Head, Slice 78/155
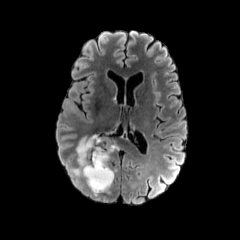
FLAIR MRI.
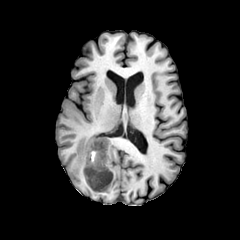
Same slice, T1-weighted MR.
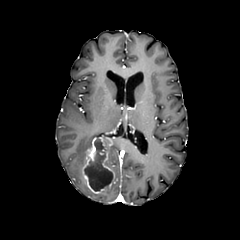
Post-contrast T1-weighted MR image of the same slice.
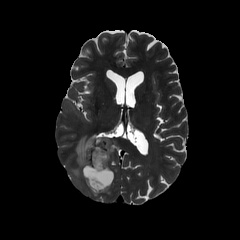
T2-weighted MR of the same slice.
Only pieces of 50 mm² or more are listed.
The necrotic tumor core is at 84:139:112:191. The 3 largest peritumoral edema regions appear at 106:144:118:166, 74:135:98:175, 66:99:85:119. The largest enhancing tumor region lies within 82:137:114:193.